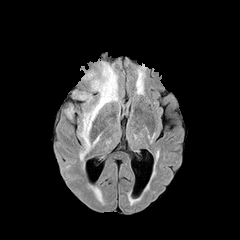
FLAIR MRI.
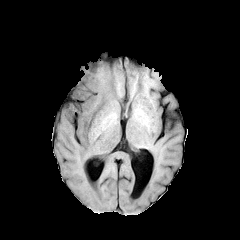
T1-weighted MR.
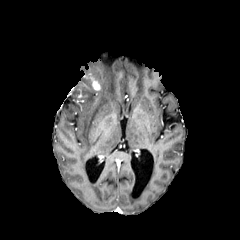
Same slice, post-contrast T1-weighted magnetic resonance.
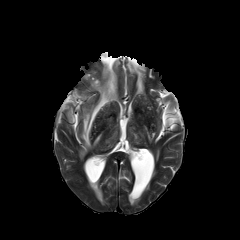
T2-weighted MRI.
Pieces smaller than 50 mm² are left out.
{
  "peritumoral_edema": [
    "rect(78, 94, 92, 101)",
    "rect(80, 62, 117, 157)"
  ],
  "enhancing_tumor": [
    "rect(83, 73, 100, 90)"
  ]
}